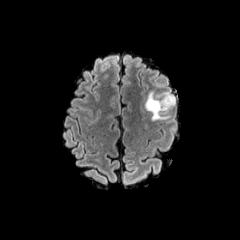
FLAIR MRI.
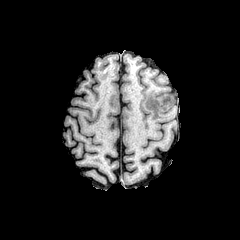
T1-weighted MRI.
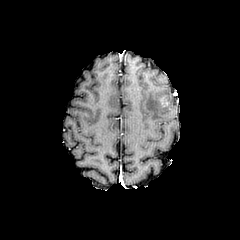
Post-contrast T1-weighted MR image.
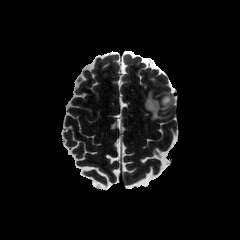
T2-weighted MR.
240x240. Brain.
The enhancing tumor lies within <bbox>158, 95, 170, 108</bbox>. The peritumoral edema lies within <bbox>144, 89, 175, 121</bbox>.